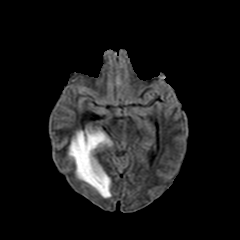
FLAIR magnetic resonance.
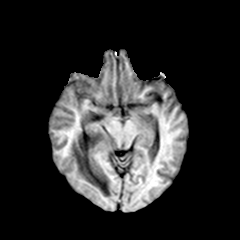
T1-weighted magnetic resonance.
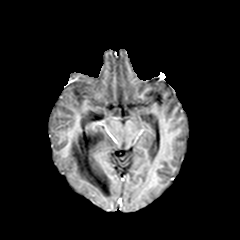
Post-contrast T1-weighted MR image of the same slice.
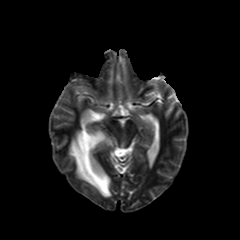
T2-weighted MR of the same slice.
Head; 240x240 px
peritumoral edema: bounding box (69,129,111,197)